FLAIR MR.
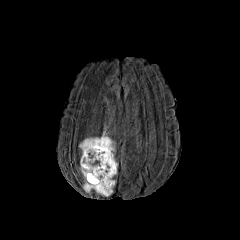
T1-weighted magnetic resonance.
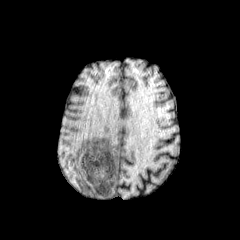
Post-contrast T1-weighted MR.
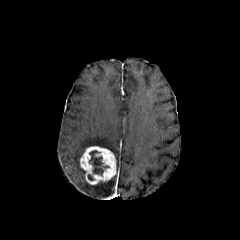
T2-weighted MR.
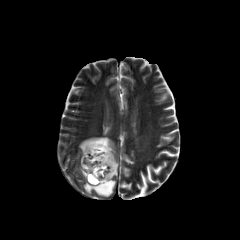
Brain
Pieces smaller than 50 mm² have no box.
necrotic tumor core — box(89, 150, 103, 175)
enhancing tumor — box(80, 146, 116, 184)
peritumoral edema — box(79, 132, 115, 154); box(79, 167, 115, 196)